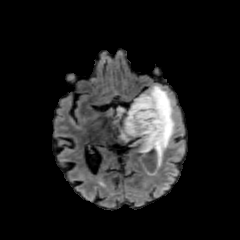
FLAIR MRI.
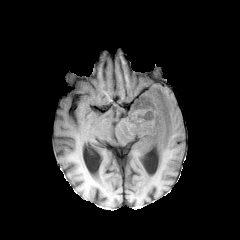
T1-weighted magnetic resonance.
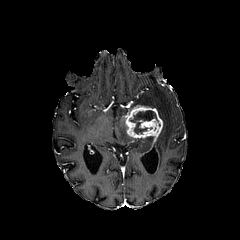
Post-contrast T1-weighted magnetic resonance of the same slice.
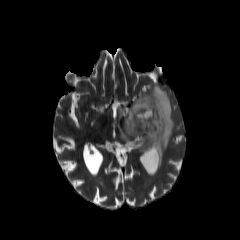
Same slice, T2-weighted MR image.
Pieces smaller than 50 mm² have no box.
{
  "enhancing_tumor": [
    "x1=125 y1=105 x2=163 y2=172"
  ],
  "peritumoral_edema": [
    "x1=112 y1=84 x2=175 y2=174",
    "x1=128 y1=137 x2=153 y2=177"
  ],
  "necrotic_tumor_core": [
    "x1=128 y1=110 x2=158 y2=133"
  ]
}